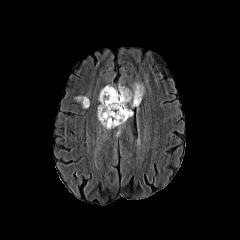
FLAIR MR image.
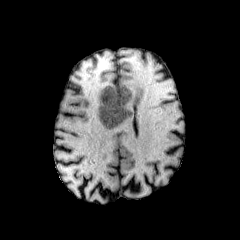
T1-weighted MR.
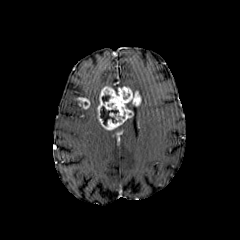
Post-contrast T1-weighted magnetic resonance of the same slice.
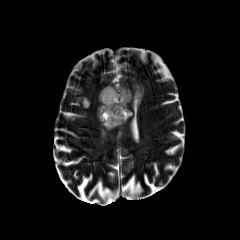
T2-weighted magnetic resonance.
240x240 | Head
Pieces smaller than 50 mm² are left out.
enhancing tumor — left=76, top=97, right=89, bottom=109; left=97, top=86, right=141, bottom=130
peritumoral edema — left=132, top=82, right=144, bottom=97
necrotic tumor core — left=102, top=95, right=110, bottom=102; left=100, top=106, right=118, bottom=125